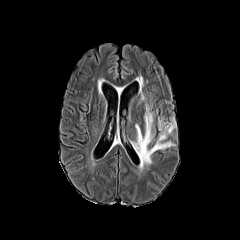
FLAIR MR image.
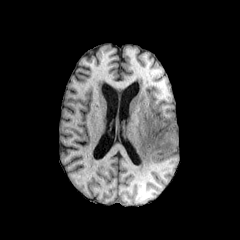
T1-weighted MR of the same slice.
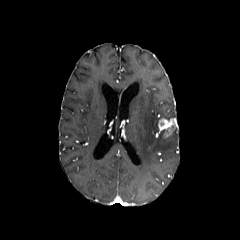
Same slice, post-contrast T1-weighted magnetic resonance.
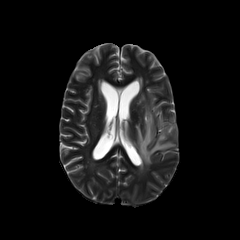
T2-weighted MRI.
240x240
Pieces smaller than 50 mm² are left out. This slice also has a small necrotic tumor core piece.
The largest peritumoral edema region appears at left=134, top=104, right=175, bottom=170. The enhancing tumor is bounded by left=158, top=118, right=176, bottom=137.